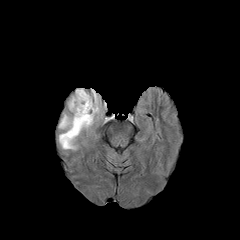
FLAIR MR image.
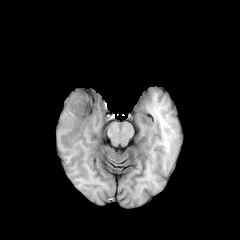
T1-weighted MR.
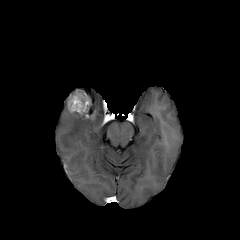
Post-contrast T1-weighted MR image.
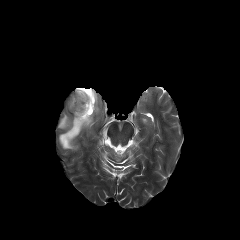
Same slice, T2-weighted magnetic resonance.
Axial slice
The peritumoral edema is bounded by 58,88,101,150. The enhancing tumor lies within 67,89,96,119.